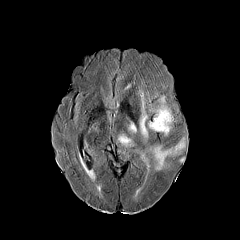
FLAIR MR.
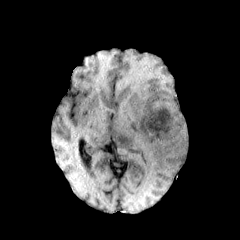
T1-weighted MR.
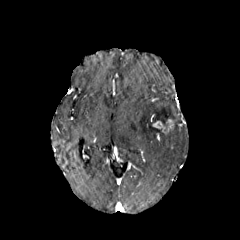
Post-contrast T1-weighted MR.
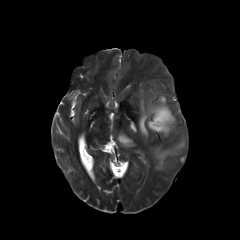
T2-weighted magnetic resonance.
Head
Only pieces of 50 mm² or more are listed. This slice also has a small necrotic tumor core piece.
The 4 largest peritumoral edema regions are located at box(149, 96, 173, 131); box(139, 90, 147, 141); box(118, 134, 135, 146); box(139, 138, 185, 170). The enhancing tumor is located at box(152, 119, 173, 133).